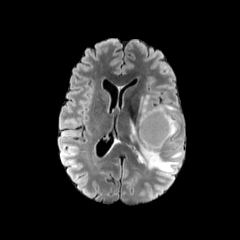
FLAIR MR.
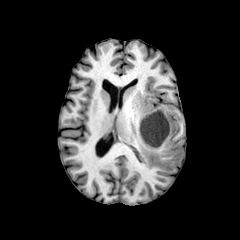
T1-weighted MRI.
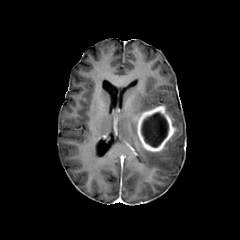
Post-contrast T1-weighted MRI of the same slice.
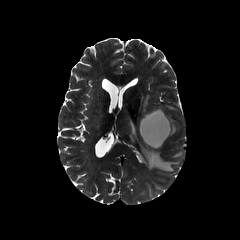
Same slice, T2-weighted MR image.
Head
enhancing tumor at 137:105:176:152
peritumoral edema at 139:95:178:147, 129:119:181:173
necrotic tumor core at 141:112:168:147